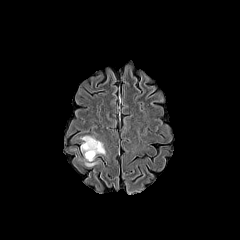
FLAIR MR image.
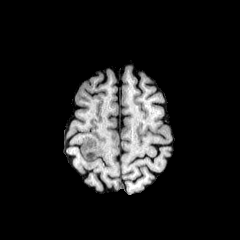
Same slice, T1-weighted MR.
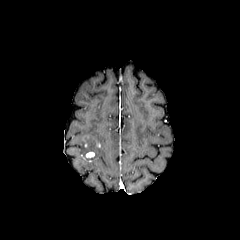
Post-contrast T1-weighted MRI of the same slice.
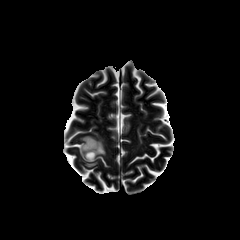
T2-weighted MRI of the same slice.
Head; Axial slice
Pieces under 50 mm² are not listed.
The largest peritumoral edema region lies within [81,136,105,161]. The largest enhancing tumor region is at [85,151,94,158].